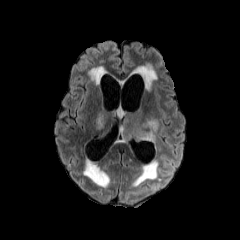
FLAIR magnetic resonance.
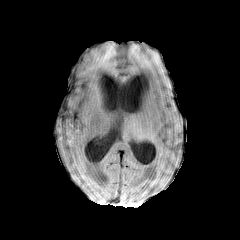
T1-weighted MR image.
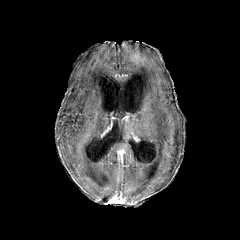
Post-contrast T1-weighted MR.
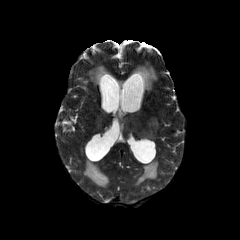
T2-weighted MR of the same slice.
Head
The peritumoral edema appears at 97, 106, 158, 142.